FLAIR magnetic resonance.
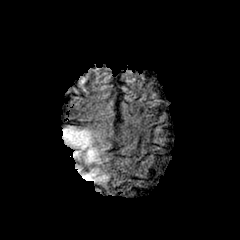
T1-weighted MR.
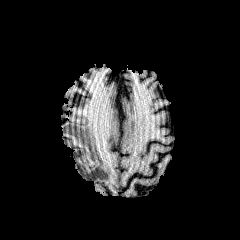
Post-contrast T1-weighted MR.
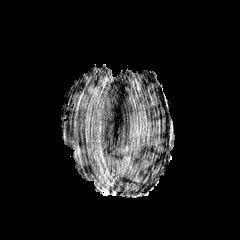
T2-weighted MRI.
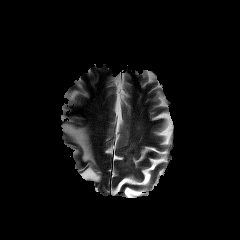
Axial plane, Image size 240x240, Head
Findings:
* peritumoral edema: [62, 125, 109, 183]